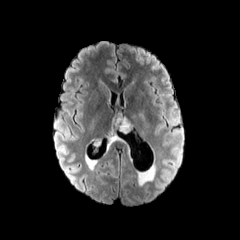
FLAIR magnetic resonance.
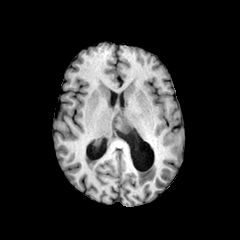
T1-weighted MR image of the same slice.
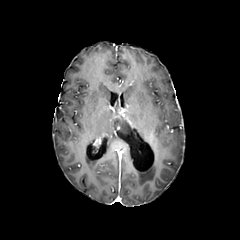
Post-contrast T1-weighted MR image.
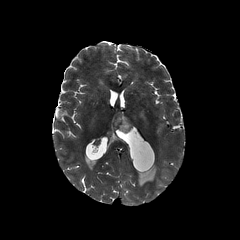
T2-weighted MRI.
Image size 240x240 | Axial view
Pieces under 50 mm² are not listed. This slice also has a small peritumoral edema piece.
<segmentation>
  <enhancing_tumor>[113, 109, 132, 129]</enhancing_tumor>
  <necrotic_tumor_core>[114, 117, 131, 133]</necrotic_tumor_core>
</segmentation>